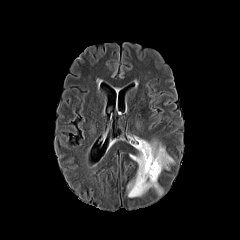
FLAIR MR.
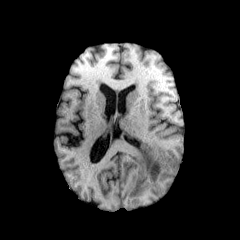
T1-weighted MR image.
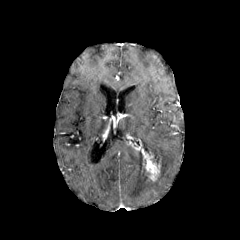
Post-contrast T1-weighted magnetic resonance.
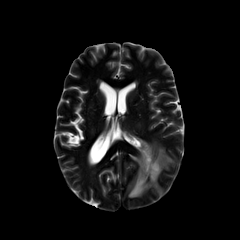
T2-weighted MR image.
Image size 240x240
peritumoral edema: bounding box <box>127,151,162,197</box>, <box>142,139,175,173</box>
enhancing tumor: bounding box <box>126,139,162,181</box>